Axial view
FLAIR MR image.
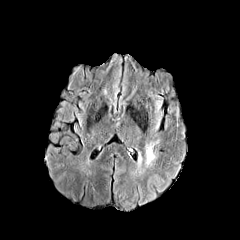
T1-weighted magnetic resonance.
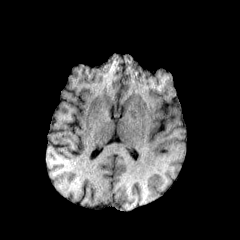
Post-contrast T1-weighted MR.
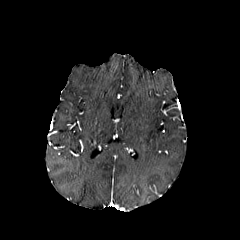
T2-weighted magnetic resonance.
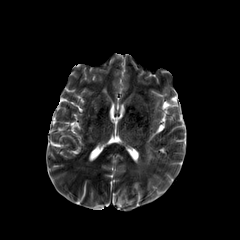
{"peritumoral_edema": ["(x1=146, y1=146, x2=154, y2=163)"]}